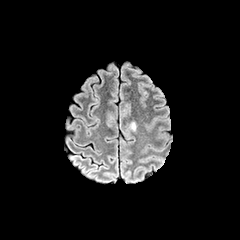
FLAIR magnetic resonance.
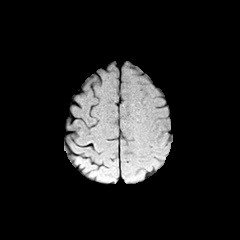
T1-weighted magnetic resonance.
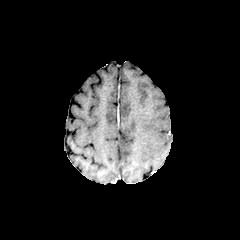
Post-contrast T1-weighted MR image.
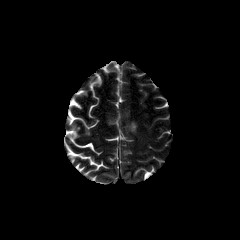
T2-weighted MR.
Brain.
peritumoral edema: 129 122 136 130